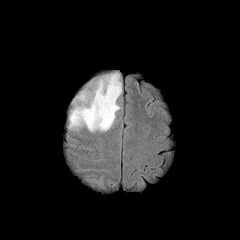
FLAIR magnetic resonance.
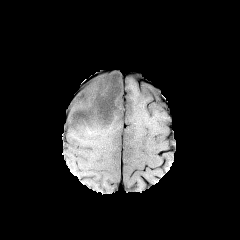
T1-weighted MR image.
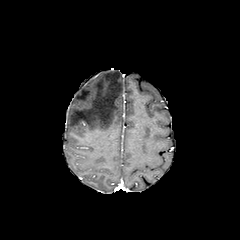
Post-contrast T1-weighted MR image.
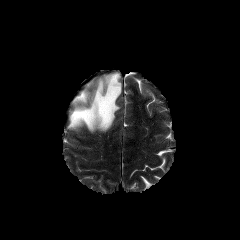
T2-weighted magnetic resonance.
240x240 px | Brain
peritumoral edema — [68, 72, 121, 132]